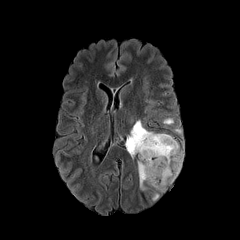
FLAIR magnetic resonance.
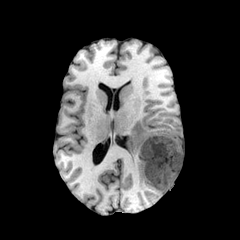
T1-weighted MRI.
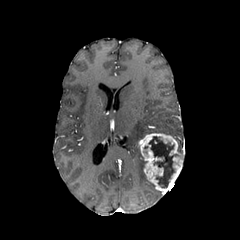
Post-contrast T1-weighted MRI.
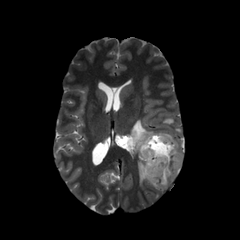
Same slice, T2-weighted MR.
Axial plane, Brain
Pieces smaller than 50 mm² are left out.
necrotic tumor core at bbox(149, 136, 177, 187)
enhancing tumor at bbox(138, 133, 184, 193)
peritumoral edema at bbox(126, 120, 154, 189); bbox(163, 118, 173, 124)